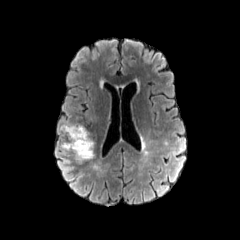
FLAIR MR.
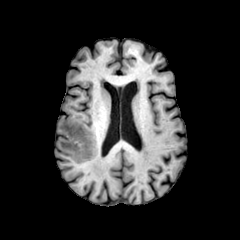
T1-weighted MRI.
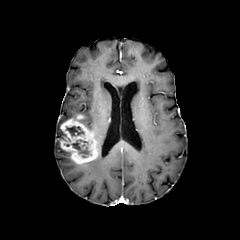
Same slice, post-contrast T1-weighted MR image.
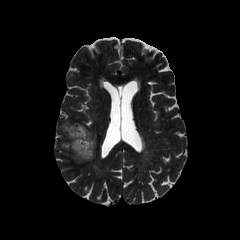
T2-weighted MR of the same slice.
Image size 240x240
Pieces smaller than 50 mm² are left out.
<segmentation>
  <necrotic_tumor_core>(left=66, top=126, right=83, bottom=136), (left=72, top=140, right=89, bottom=157)</necrotic_tumor_core>
  <enhancing_tumor>(left=60, top=115, right=98, bottom=163)</enhancing_tumor>
</segmentation>